FLAIR MR image.
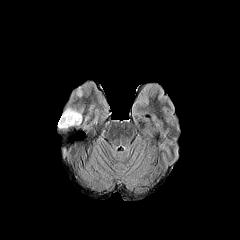
T1-weighted magnetic resonance.
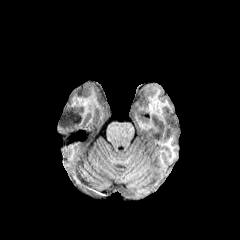
Post-contrast T1-weighted MR.
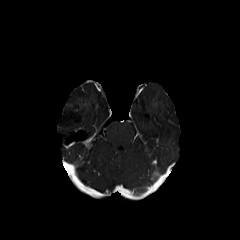
T2-weighted MRI.
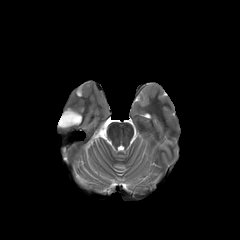
Brain, 240x240, Axial plane
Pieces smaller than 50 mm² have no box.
peritumoral edema: bounding box x1=58, y1=108, x2=81, y2=128